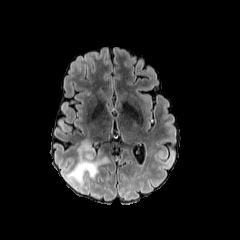
FLAIR MR.
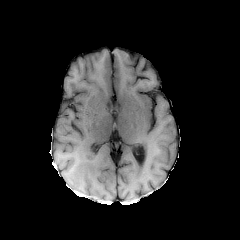
Same slice, T1-weighted magnetic resonance.
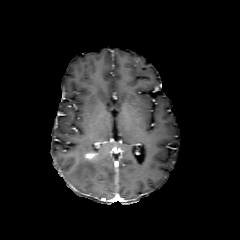
Post-contrast T1-weighted MRI.
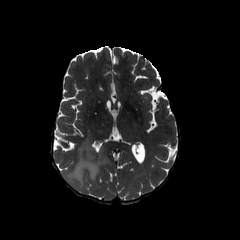
T2-weighted MRI.
Axial plane, Image size 240x240
• enhancing tumor: [84,153,94,159]
• peritumoral edema: [69,137,109,183]